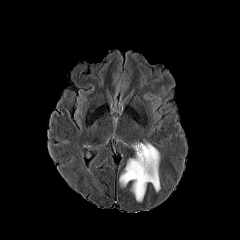
FLAIR magnetic resonance.
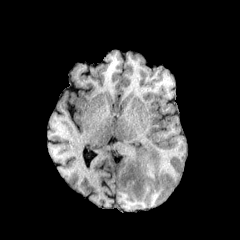
T1-weighted MR.
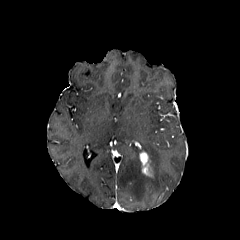
Post-contrast T1-weighted MR.
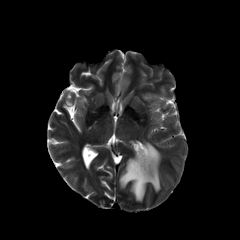
Same slice, T2-weighted magnetic resonance.
Axial slice; 240x240 px
The enhancing tumor is located at (left=139, top=151, right=153, bottom=177). The peritumoral edema is located at (left=119, top=142, right=160, bottom=201).